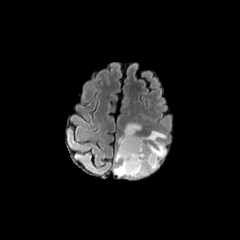
FLAIR MRI.
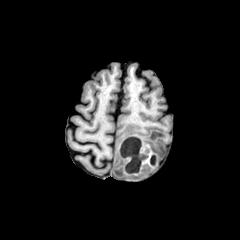
Same slice, T1-weighted MR image.
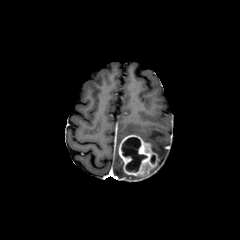
Post-contrast T1-weighted MR.
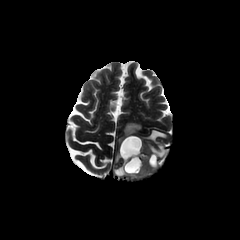
T2-weighted magnetic resonance.
Head
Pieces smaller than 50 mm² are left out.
The largest necrotic tumor core region lies within [x1=121, y1=137, x2=147, y2=171]. The 4 largest peritumoral edema regions are located at [x1=118, y1=123, x2=141, y2=144], [x1=114, y1=161, x2=140, y2=178], [x1=140, y1=130, x2=166, y2=160], [x1=115, y1=147, x2=121, y2=162]. The enhancing tumor is bounded by [x1=119, y1=134, x2=158, y2=177].